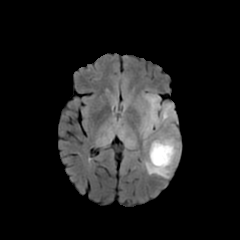
FLAIR MR image.
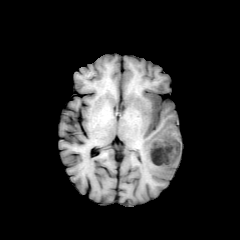
Same slice, T1-weighted MR image.
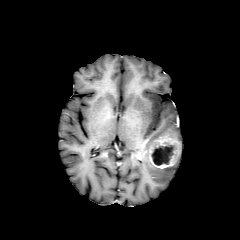
Post-contrast T1-weighted MR image of the same slice.
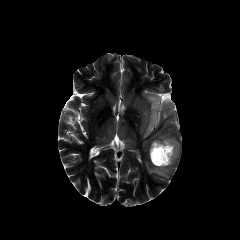
T2-weighted MR image.
Brain.
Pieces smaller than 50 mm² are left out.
necrotic tumor core: bounding box x1=151, y1=145, x2=174, y2=165
enhancing tumor: bounding box x1=149, y1=134, x2=180, y2=168
peritumoral edema: bounding box x1=140, y1=91, x2=179, y2=179